Image covers 240 mm x 240 mm; 240x240 px; Head; Slice 66/155
FLAIR MRI.
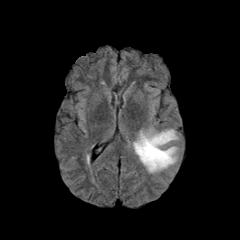
T1-weighted magnetic resonance.
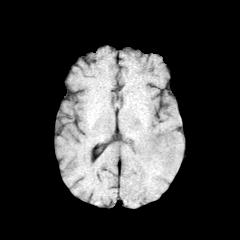
Post-contrast T1-weighted MR.
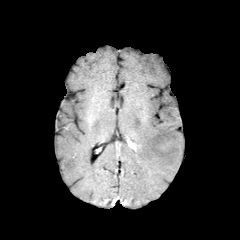
T2-weighted magnetic resonance.
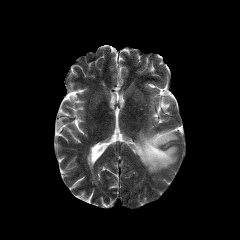
peritumoral edema — {"x1": 134, "y1": 129, "x2": 177, "y2": 172}